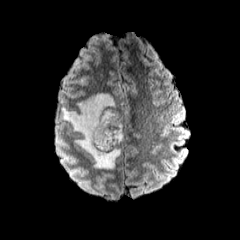
FLAIR magnetic resonance.
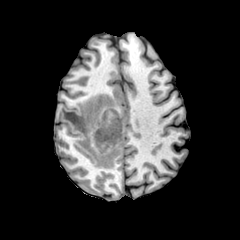
T1-weighted MR of the same slice.
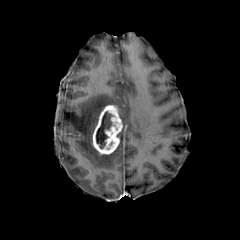
Post-contrast T1-weighted MR image.
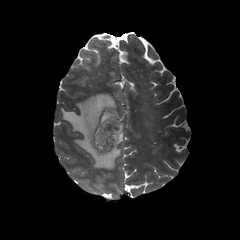
T2-weighted MR image.
Brain; 240x240 px
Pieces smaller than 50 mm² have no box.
enhancing tumor: bounding box left=92, top=105, right=122, bottom=155
necrotic tumor core: bounding box left=96, top=110, right=118, bottom=149; left=105, top=142, right=115, bottom=150
peritumoral edema: bounding box left=61, top=93, right=120, bottom=169